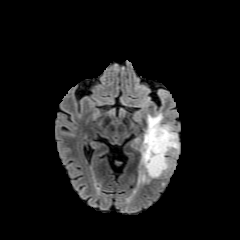
FLAIR MR.
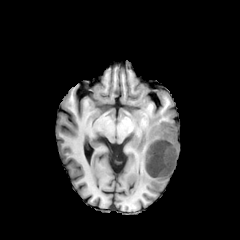
T1-weighted MR.
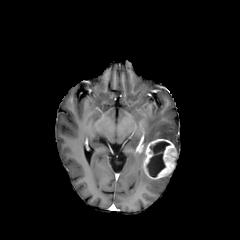
Post-contrast T1-weighted MRI.
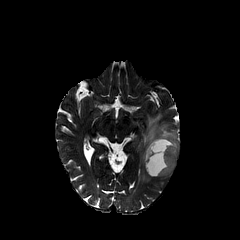
T2-weighted MRI.
Brain
necrotic tumor core: bounding box l=146, t=141, r=169, b=177
enhancing tumor: bounding box l=143, t=139, r=177, b=179
peritumoral edema: bounding box l=138, t=168, r=150, b=182; l=140, t=113, r=179, b=164